FLAIR MR image.
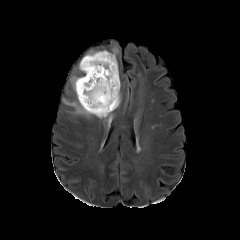
T1-weighted MRI.
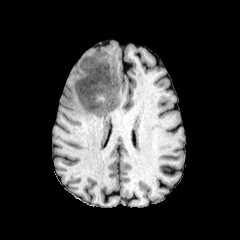
Post-contrast T1-weighted MRI.
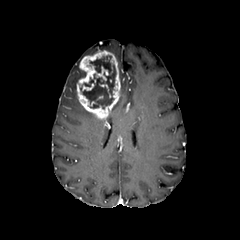
T2-weighted MR image.
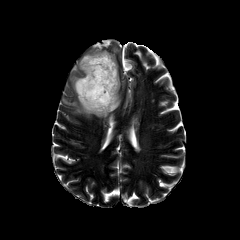
Axial slice. Image size 240x240.
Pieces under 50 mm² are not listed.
The largest enhancing tumor region lies within box(76, 50, 120, 118). The 3 largest peritumoral edema regions are located at box(109, 89, 121, 115); box(63, 99, 93, 117); box(70, 67, 86, 95). The largest necrotic tumor core region is located at box(82, 55, 116, 108).